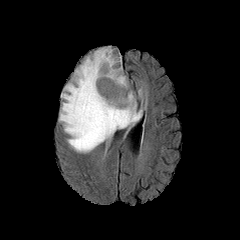
FLAIR MRI.
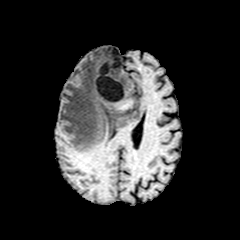
T1-weighted MR image.
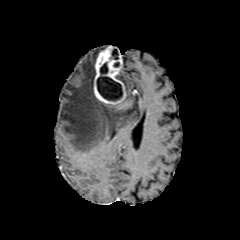
Same slice, post-contrast T1-weighted MRI.
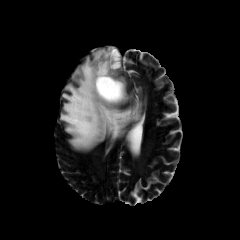
T2-weighted MRI.
Axial view, Image size 240x240
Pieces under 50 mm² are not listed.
enhancing tumor: (left=93, top=46, right=126, bottom=105) | necrotic tumor core: (left=96, top=63, right=122, bottom=100), (left=111, top=48, right=118, bottom=59) | peritumoral edema: (left=59, top=48, right=142, bottom=152), (left=117, top=72, right=127, bottom=88)